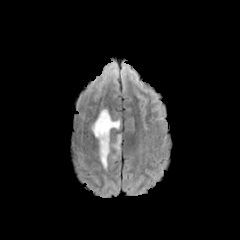
FLAIR magnetic resonance.
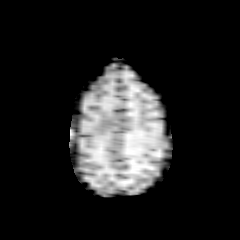
T1-weighted MR image.
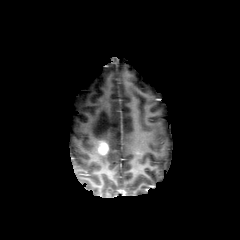
Post-contrast T1-weighted MRI of the same slice.
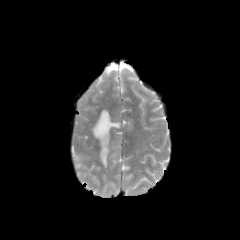
Same slice, T2-weighted MRI.
enhancing tumor: (x1=99, y1=141, x2=108, y2=154)
peritumoral edema: (x1=92, y1=109, x2=120, y2=168), (x1=114, y1=135, x2=120, y2=152)